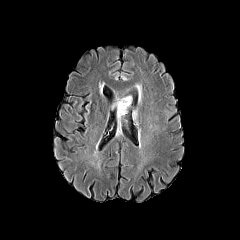
FLAIR MR.
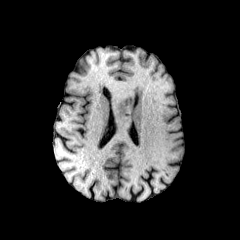
Same slice, T1-weighted magnetic resonance.
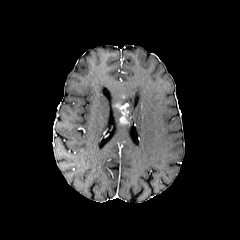
Same slice, post-contrast T1-weighted magnetic resonance.
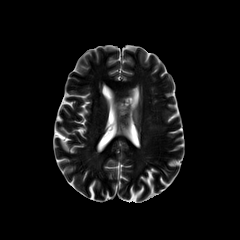
T2-weighted MR of the same slice.
Image size 240x240, Axial plane
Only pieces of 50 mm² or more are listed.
enhancing tumor at bbox=[115, 103, 128, 123]
peritumoral edema at bbox=[117, 108, 122, 127]; bbox=[115, 96, 132, 105]